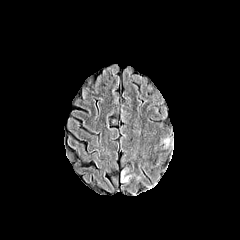
FLAIR MRI.
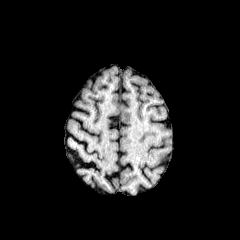
T1-weighted MR.
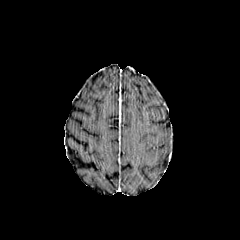
Same slice, post-contrast T1-weighted MR image.
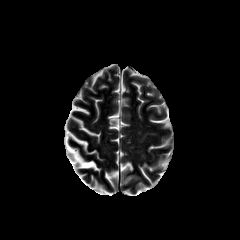
T2-weighted magnetic resonance of the same slice.
240x240; Brain
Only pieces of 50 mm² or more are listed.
Findings:
• peritumoral edema: rect(121, 167, 131, 182)